Slice 73 of 155, 240x240, Head
FLAIR MR image.
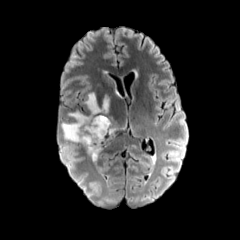
T1-weighted MRI.
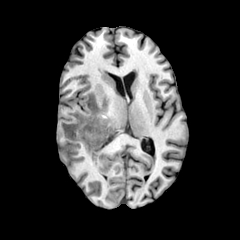
Post-contrast T1-weighted MRI.
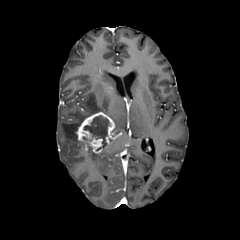
T2-weighted MR image.
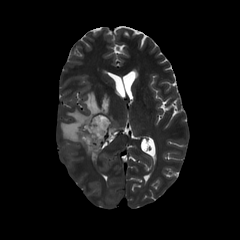
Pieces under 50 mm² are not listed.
enhancing_tumor:
  - (76, 112, 115, 153)
necrotic_tumor_core:
  - (84, 115, 109, 150)
peritumoral_edema:
  - (87, 150, 98, 160)
  - (60, 92, 109, 145)